Axial slice
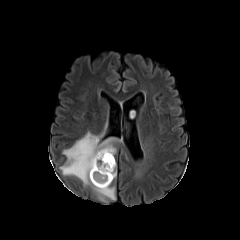
FLAIR MRI.
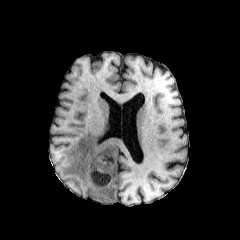
Same slice, T1-weighted MRI.
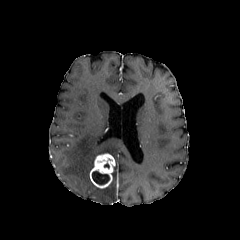
Post-contrast T1-weighted MR of the same slice.
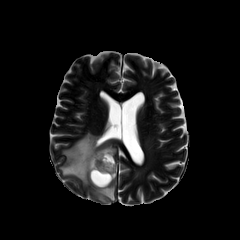
T2-weighted MR.
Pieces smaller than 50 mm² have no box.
peritumoral edema = (x1=59, y1=132, x2=119, y2=201)
necrotic tumor core = (x1=92, y1=171, x2=109, y2=184)
enhancing tumor = (x1=89, y1=153, x2=115, y2=188)